240x240 | Axial plane
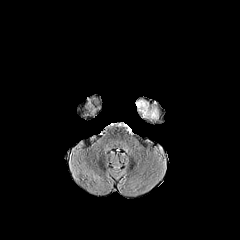
FLAIR magnetic resonance.
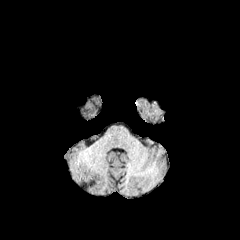
Same slice, T1-weighted magnetic resonance.
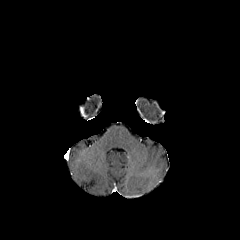
Post-contrast T1-weighted MR of the same slice.
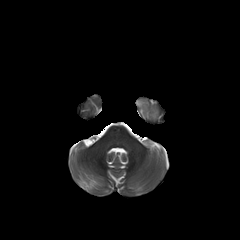
Same slice, T2-weighted magnetic resonance.
peritumoral_edema:
  - [136,99,159,120]